FLAIR magnetic resonance.
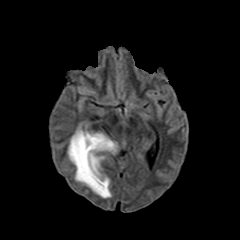
T1-weighted MR image.
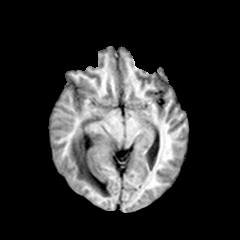
Post-contrast T1-weighted MR.
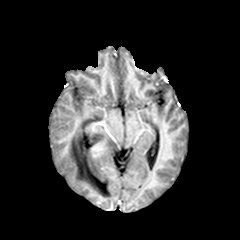
T2-weighted MR image.
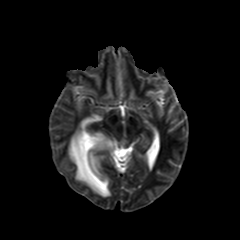
Head
peritumoral edema: x1=68 y1=121 x2=116 y2=197
enhancing tumor: x1=91 y1=142 x2=104 y2=157